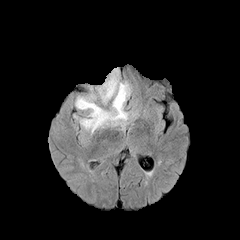
FLAIR MR image.
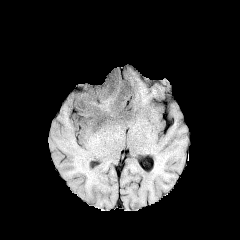
T1-weighted MR of the same slice.
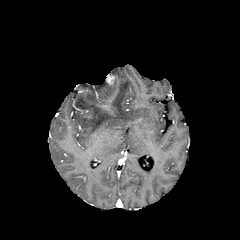
Post-contrast T1-weighted MR.
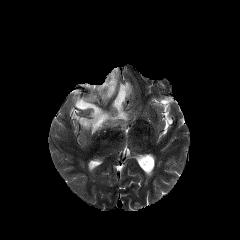
Same slice, T2-weighted MRI.
Brain, Image size 240x240, Axial slice
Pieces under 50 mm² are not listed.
- enhancing tumor: [x1=106, y1=74, x2=115, y2=85]
- peritumoral edema: [x1=75, y1=67, x2=130, y2=133]